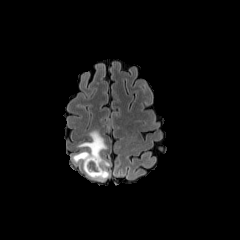
FLAIR MR.
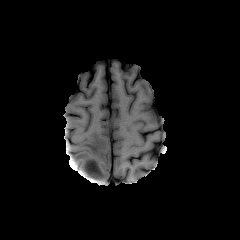
T1-weighted MR image.
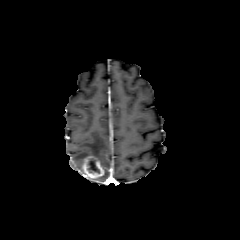
Post-contrast T1-weighted MR of the same slice.
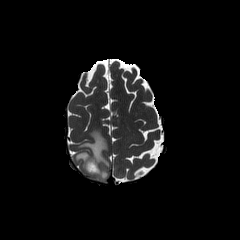
Same slice, T2-weighted MR.
{"enhancing_tumor": ["(82,156,104,178)"], "necrotic_tumor_core": ["(88,159,99,173)"], "peritumoral_edema": ["(72,130,110,181)"]}